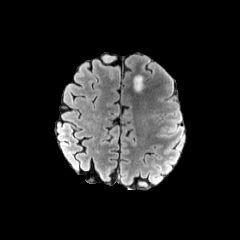
FLAIR MR.
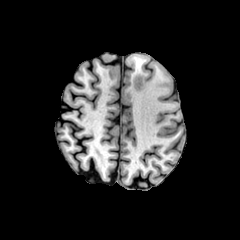
T1-weighted MR.
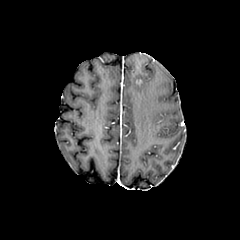
Same slice, post-contrast T1-weighted MR image.
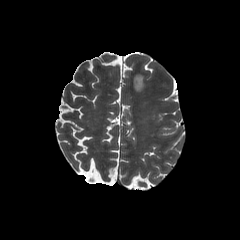
T2-weighted MR.
Brain; Axial plane
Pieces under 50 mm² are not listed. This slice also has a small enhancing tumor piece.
<segmentation>
  <peritumoral_edema>rect(134, 75, 143, 91)</peritumoral_edema>
</segmentation>